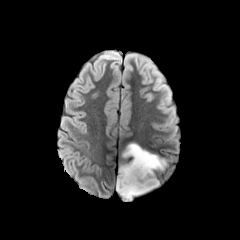
FLAIR MR.
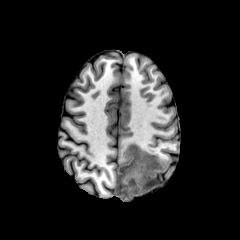
Same slice, T1-weighted MRI.
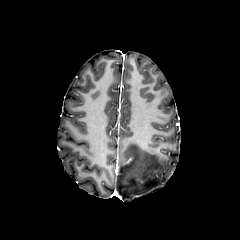
Post-contrast T1-weighted magnetic resonance.
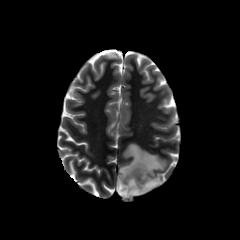
T2-weighted MR of the same slice.
Axial view; Image size 240x240
peritumoral edema: x1=116, y1=143, x2=166, y2=199